Slice 70 of 155
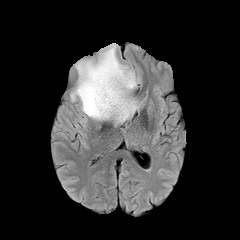
FLAIR MRI.
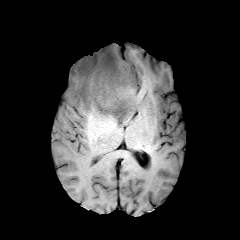
Same slice, T1-weighted magnetic resonance.
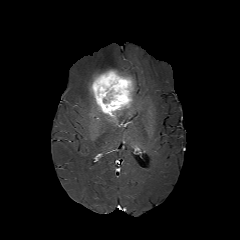
Post-contrast T1-weighted MR.
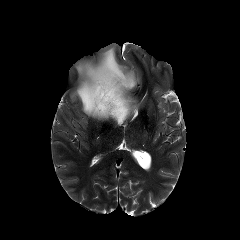
T2-weighted MR.
The enhancing tumor lies within <box>90,69,134,120</box>. 2 peritumoral edema regions appear at <box>114,96,139,124</box>, <box>70,43,139,120</box>.